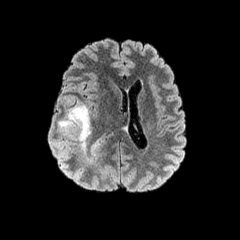
FLAIR MR.
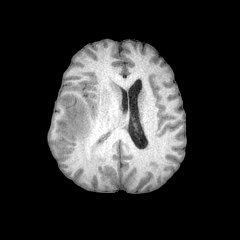
T1-weighted MR image.
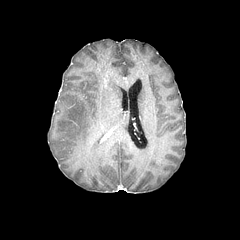
Post-contrast T1-weighted MR image.
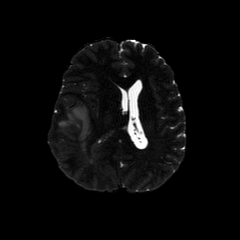
T2-weighted MR image.
240x240 px, Axial plane
The peritumoral edema is at 59,104,91,148.